FLAIR magnetic resonance.
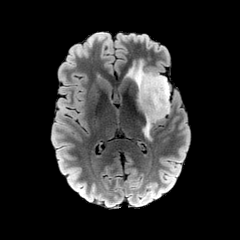
T1-weighted magnetic resonance.
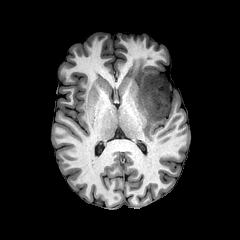
Post-contrast T1-weighted MRI.
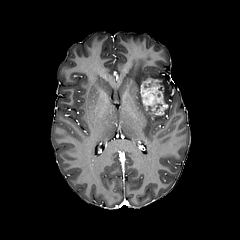
T2-weighted MRI.
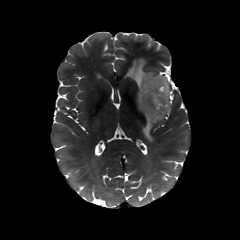
Brain, Axial plane
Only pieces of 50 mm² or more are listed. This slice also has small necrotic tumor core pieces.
enhancing tumor at box(140, 77, 167, 120)
peritumoral edema at box(126, 60, 170, 140)